FLAIR MR image.
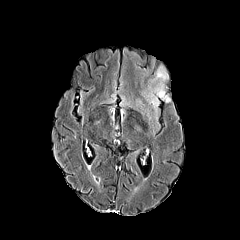
T1-weighted MRI.
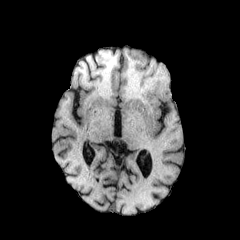
Post-contrast T1-weighted magnetic resonance.
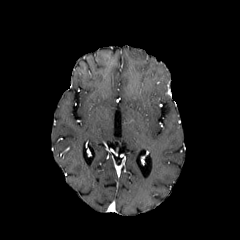
T2-weighted MR.
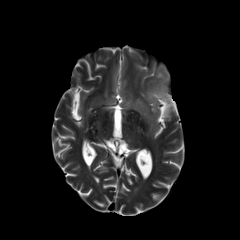
Axial slice; 240x240 px
2 peritumoral edema regions appear at (153, 65, 170, 101), (150, 93, 159, 111).